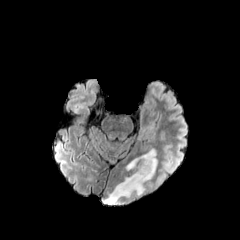
FLAIR MR.
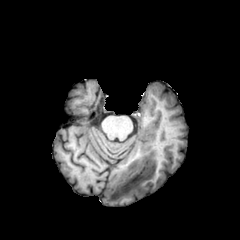
Same slice, T1-weighted MRI.
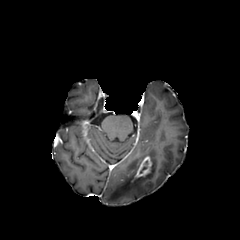
Post-contrast T1-weighted MRI.
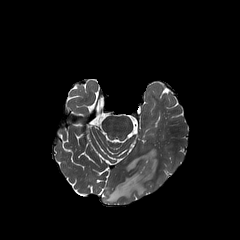
Same slice, T2-weighted magnetic resonance.
Head
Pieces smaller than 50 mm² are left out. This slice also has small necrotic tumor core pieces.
{
  "enhancing_tumor": [
    "(134,156,152,178)"
  ],
  "peritumoral_edema": [
    "(101,148,157,205)"
  ]
}